FLAIR magnetic resonance.
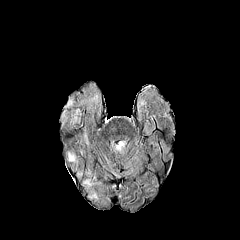
T1-weighted MR image.
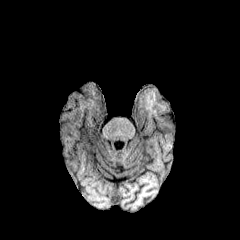
Post-contrast T1-weighted magnetic resonance.
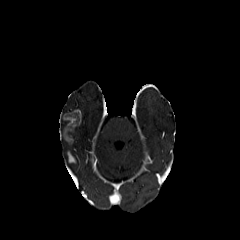
T2-weighted MR image.
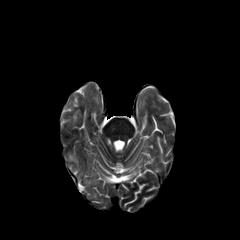
Brain | Image size 240x240
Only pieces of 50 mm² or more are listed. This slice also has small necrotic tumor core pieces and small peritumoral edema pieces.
Findings:
• enhancing tumor: region(63, 109, 81, 145)